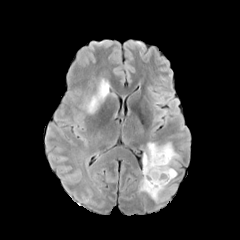
FLAIR MR.
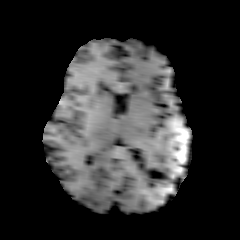
T1-weighted magnetic resonance of the same slice.
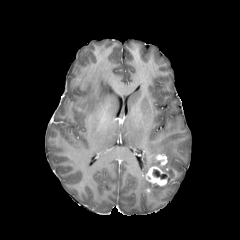
Post-contrast T1-weighted magnetic resonance.
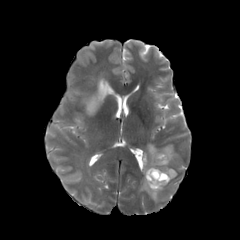
T2-weighted MRI.
Head
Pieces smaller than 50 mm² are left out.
- enhancing tumor: <bbox>146, 166, 168, 187</bbox>, <bbox>155, 154, 167, 165</bbox>
- necrotic tumor core: <bbox>153, 170, 167, 178</bbox>
- peritumoral edema: <bbox>139, 142, 180, 201</bbox>, <bbox>83, 77, 110, 113</bbox>